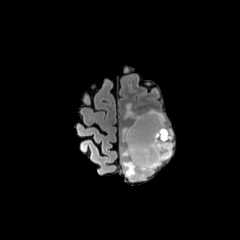
FLAIR MR image.
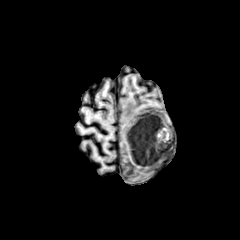
T1-weighted MR.
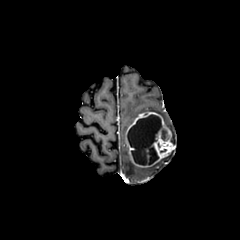
Post-contrast T1-weighted MR.
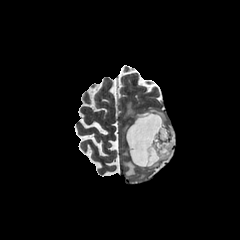
Same slice, T2-weighted MR.
Axial view.
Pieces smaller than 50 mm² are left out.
{"peritumoral_edema": ["[x1=122, y1=153, x2=171, y2=180]", "[x1=125, y1=103, x2=136, y2=118]"], "necrotic_tumor_core": ["[x1=127, y1=115, x2=161, y2=165]", "[x1=158, y1=128, x2=168, y2=140]"], "enhancing_tumor": ["[x1=125, y1=112, x2=174, y2=167]"]}